Head. Image width 240 mm, 1.00 mm slice spacing. Slice index 127.
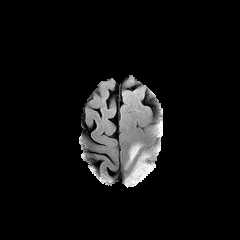
FLAIR MR.
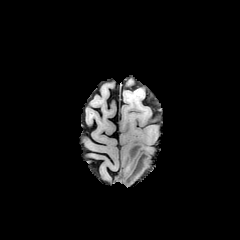
T1-weighted magnetic resonance.
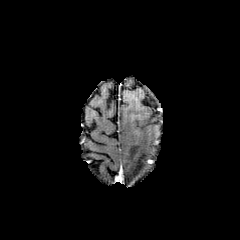
Post-contrast T1-weighted magnetic resonance.
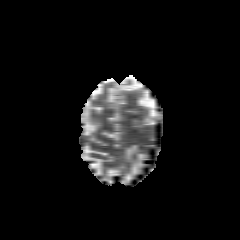
Same slice, T2-weighted MRI.
peritumoral_edema:
  - left=128, top=144, right=140, bottom=163
  - left=125, top=153, right=152, bottom=185